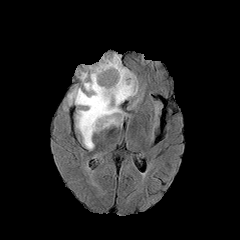
FLAIR MR.
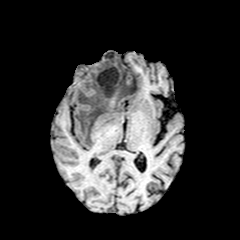
Same slice, T1-weighted MRI.
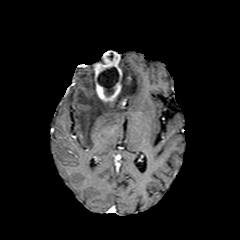
Post-contrast T1-weighted magnetic resonance of the same slice.
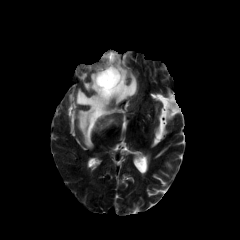
T2-weighted MRI.
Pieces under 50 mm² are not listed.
necrotic_tumor_core:
  - (97, 67, 119, 95)
peritumoral_edema:
  - (68, 60, 138, 149)
enhancing_tumor:
  - (94, 50, 122, 102)